FLAIR MR image.
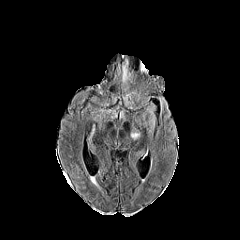
T1-weighted MR image.
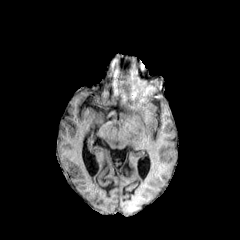
Post-contrast T1-weighted MR.
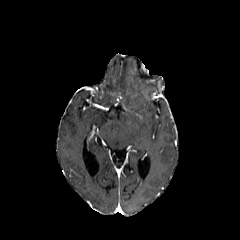
T2-weighted MR.
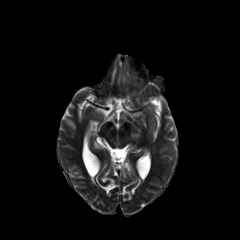
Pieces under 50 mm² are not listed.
{
  "peritumoral_edema": [
    "bbox(123, 66, 126, 82)"
  ]
}